Axial plane | Slice index 52 | Head
FLAIR MR.
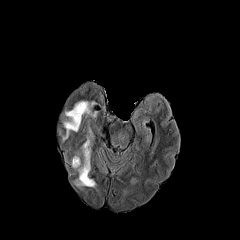
T1-weighted MR.
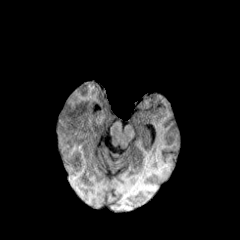
Post-contrast T1-weighted MR.
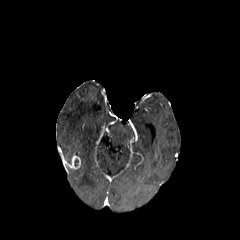
T2-weighted MRI.
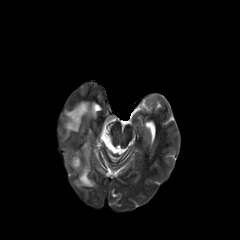
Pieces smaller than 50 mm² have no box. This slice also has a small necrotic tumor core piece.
Findings:
- enhancing tumor: l=70, t=156, r=80, b=168
- peritumoral edema: l=62, t=100, r=97, b=141; l=74, t=129, r=95, b=187